Head | 240x240 | Image width 240 mm, 1.00 mm slice spacing | Slice 90 of 155
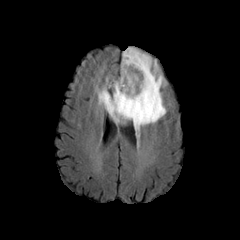
FLAIR MR image.
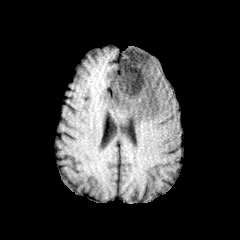
T1-weighted magnetic resonance.
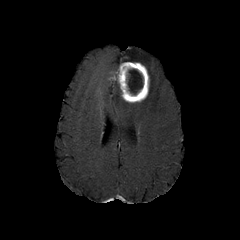
Post-contrast T1-weighted magnetic resonance.
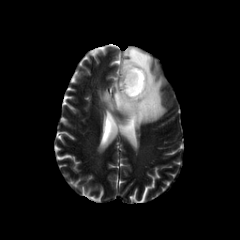
T2-weighted MRI.
enhancing tumor: bounding box rect(112, 61, 149, 102)
peritumoral edema: bounding box rect(98, 47, 166, 130)
necrotic tumor core: bounding box rect(128, 69, 142, 94)